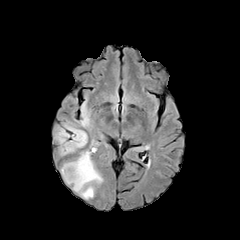
FLAIR MR image.
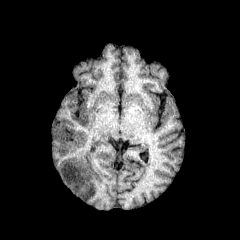
T1-weighted MRI.
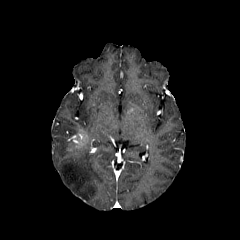
Post-contrast T1-weighted MR.
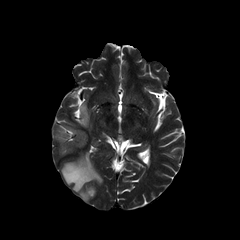
T2-weighted magnetic resonance of the same slice.
Head | Axial slice
peritumoral edema: bounding box box(55, 122, 78, 155); box(78, 104, 89, 127); box(61, 150, 102, 198)
enhancing tumor: bounding box box(67, 129, 87, 150)